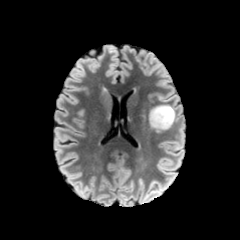
FLAIR magnetic resonance.
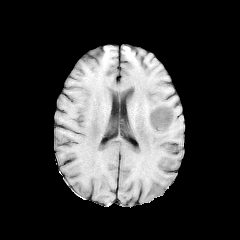
T1-weighted magnetic resonance of the same slice.
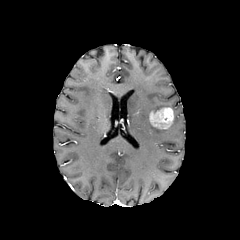
Same slice, post-contrast T1-weighted magnetic resonance.
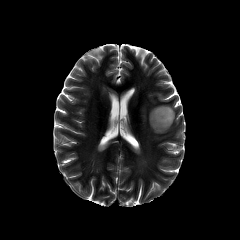
Same slice, T2-weighted MRI.
Brain; 240x240 px
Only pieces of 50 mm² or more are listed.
peritumoral edema — 150,105,177,124
enhancing tumor — 149,107,173,128